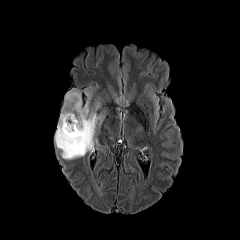
FLAIR magnetic resonance.
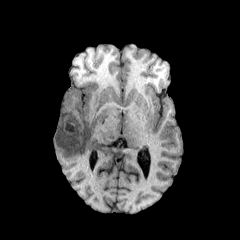
Same slice, T1-weighted magnetic resonance.
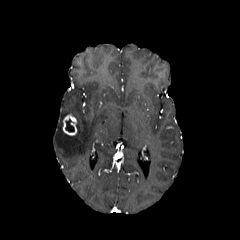
Post-contrast T1-weighted MRI of the same slice.
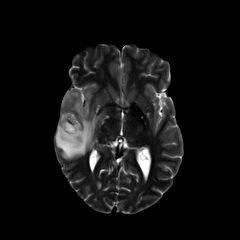
T2-weighted MRI.
Image size 240x240
necrotic tumor core — (65,119,74,131)
peritumoral edema — (55,90,104,159)
enhancing tumor — (62,114,77,135)